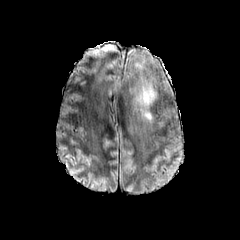
FLAIR magnetic resonance.
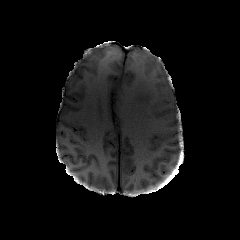
T1-weighted MR image.
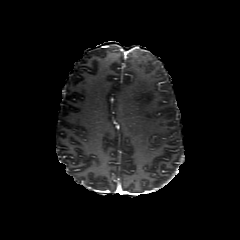
Post-contrast T1-weighted MRI of the same slice.
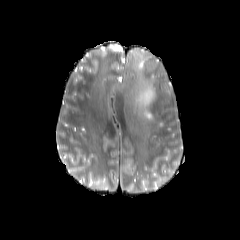
T2-weighted MR image.
240x240 px, Brain
Segmented structures:
* peritumoral edema: (left=131, top=63, right=157, bottom=122)